Head. 240x240 px. Image covers 240 mm x 240 mm. Slice 68 of 155.
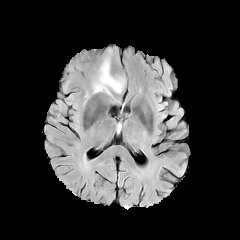
FLAIR MR.
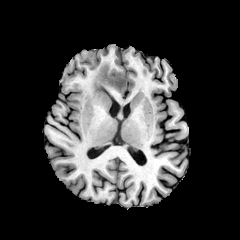
Same slice, T1-weighted magnetic resonance.
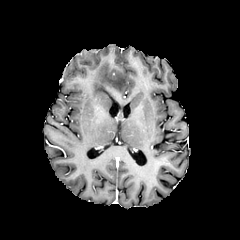
Post-contrast T1-weighted magnetic resonance.
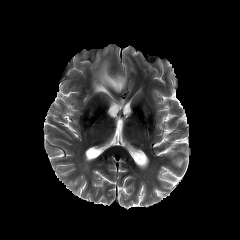
T2-weighted MRI.
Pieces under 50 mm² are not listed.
peritumoral_edema:
  - 92:59:125:95